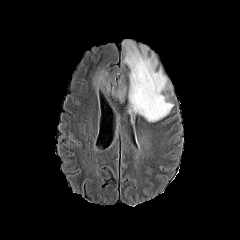
FLAIR MRI.
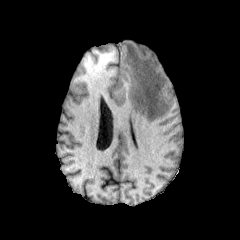
T1-weighted MR image.
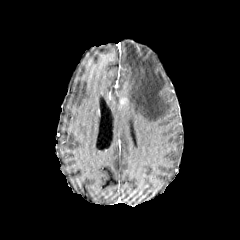
Same slice, post-contrast T1-weighted MRI.
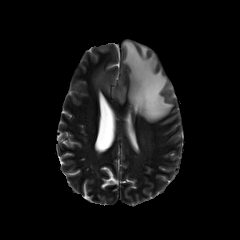
Same slice, T2-weighted MR image.
Brain. Axial plane.
2 peritumoral edema regions are bounded by 92, 67, 126, 102; 122, 39, 173, 121.